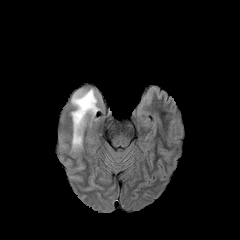
FLAIR MR image.
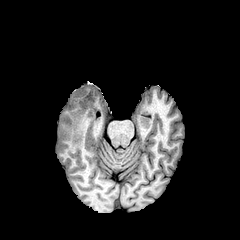
Same slice, T1-weighted MRI.
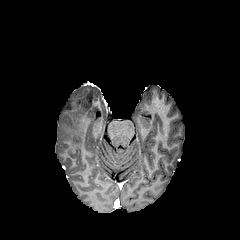
Same slice, post-contrast T1-weighted MRI.
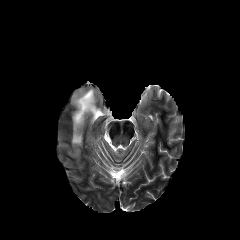
T2-weighted magnetic resonance.
Image size 240x240
The peritumoral edema is located at (left=71, top=89, right=98, bottom=149).